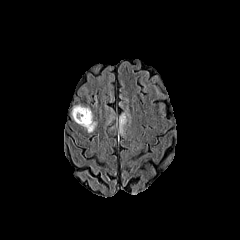
FLAIR MR image.
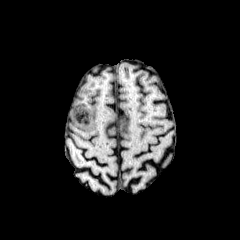
T1-weighted MRI.
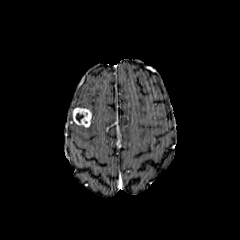
Post-contrast T1-weighted MR of the same slice.
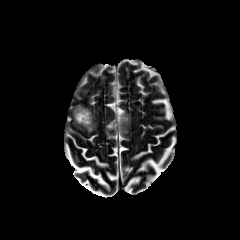
T2-weighted magnetic resonance of the same slice.
Brain, Image size 240x240
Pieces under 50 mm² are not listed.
• necrotic tumor core: (76, 113, 83, 122)
• enhancing tumor: (72, 107, 92, 127)
• peritumoral edema: (119, 111, 129, 134), (85, 117, 96, 132)